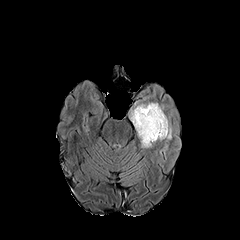
FLAIR magnetic resonance.
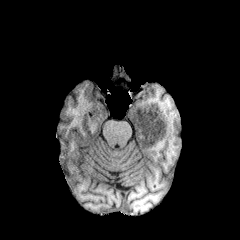
T1-weighted MR image.
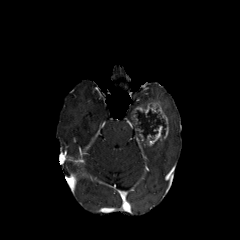
Post-contrast T1-weighted MR.
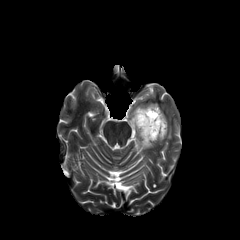
Same slice, T2-weighted MRI.
Brain | 240x240 px
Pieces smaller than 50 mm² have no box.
The largest peritumoral edema region is bounded by {"x1": 167, "y1": 123, "x2": 171, "y2": 139}. The 2 largest enhancing tumor regions are bounded by {"x1": 144, "y1": 125, "x2": 162, "y2": 145}, {"x1": 131, "y1": 102, "x2": 168, "y2": 138}. The largest necrotic tumor core region lies within {"x1": 135, "y1": 109, "x2": 166, "y2": 142}.